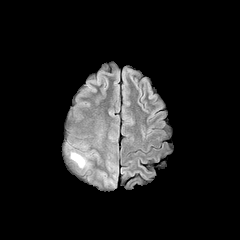
FLAIR MR image.
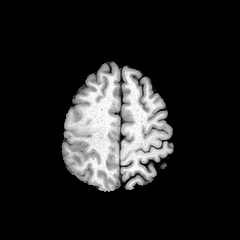
T1-weighted MRI.
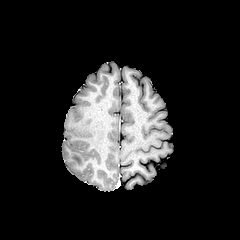
Post-contrast T1-weighted MR image of the same slice.
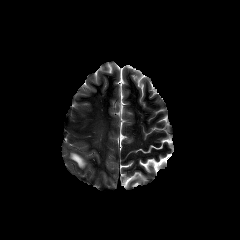
T2-weighted magnetic resonance.
240x240; Head; Axial slice
<segmentation>
  <peritumoral_edema>box(71, 153, 84, 167)</peritumoral_edema>
</segmentation>